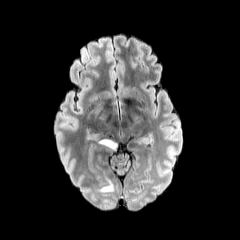
FLAIR MR image.
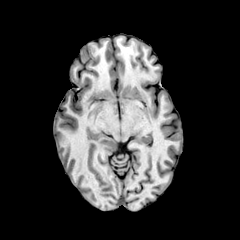
Same slice, T1-weighted magnetic resonance.
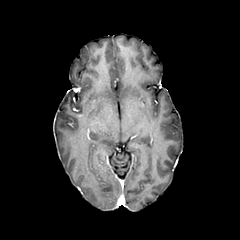
Post-contrast T1-weighted MR.
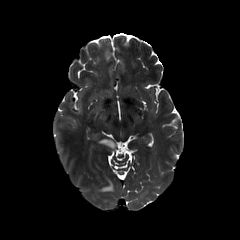
Same slice, T2-weighted MR.
240x240 px
peritumoral edema: bbox=[100, 139, 116, 149]; bbox=[99, 178, 113, 192]